FLAIR MRI.
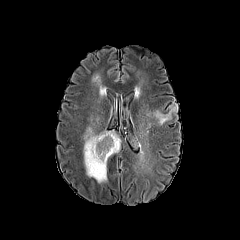
T1-weighted MRI.
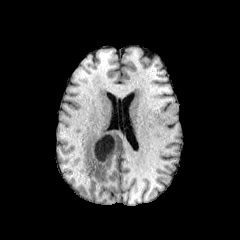
Post-contrast T1-weighted magnetic resonance.
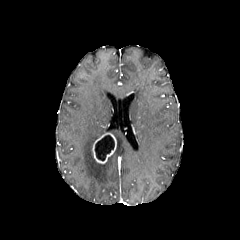
T2-weighted MR.
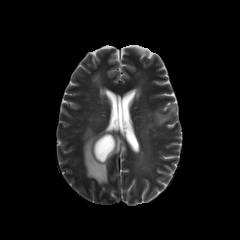
Brain, Image size 240x240, Axial slice
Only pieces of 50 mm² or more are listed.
enhancing tumor = left=92, top=133, right=116, bottom=163
necrotic tumor core = left=95, top=135, right=114, bottom=160
peritumoral edema = left=83, top=127, right=121, bottom=183; left=153, top=104, right=177, bottom=125